Brain, Slice index 65
FLAIR magnetic resonance.
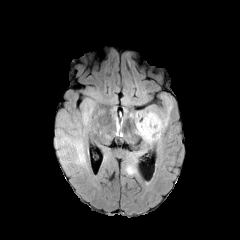
T1-weighted MR.
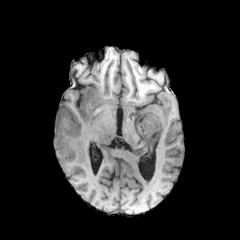
Post-contrast T1-weighted magnetic resonance.
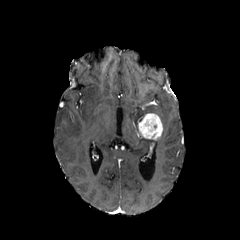
T2-weighted MR image.
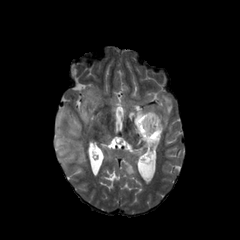
peritumoral edema = region(143, 137, 161, 148); region(123, 149, 145, 175); region(55, 102, 91, 169); region(135, 96, 172, 130)
enhancing tumor = region(137, 113, 163, 140)